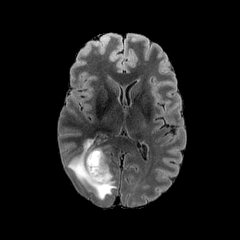
FLAIR MRI.
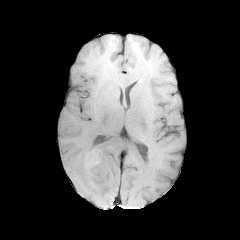
T1-weighted MR image.
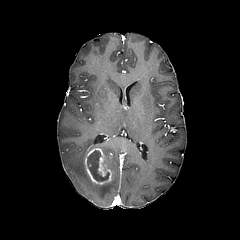
Post-contrast T1-weighted magnetic resonance.
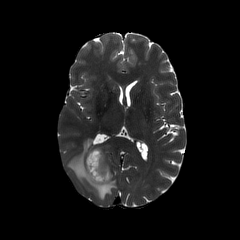
T2-weighted MR.
240x240. Axial slice.
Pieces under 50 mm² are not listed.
{"necrotic_tumor_core": ["l=87, t=150, r=109, b=181"], "peritumoral_edema": ["l=67, t=139, r=116, b=199"], "enhancing_tumor": ["l=84, t=148, r=112, b=186"]}